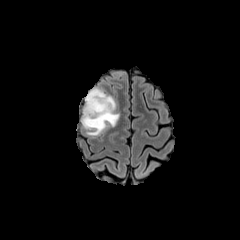
FLAIR magnetic resonance.
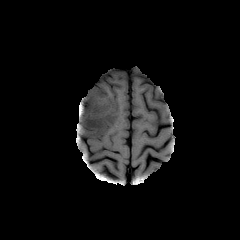
T1-weighted MR image.
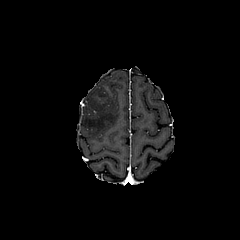
Same slice, post-contrast T1-weighted MRI.
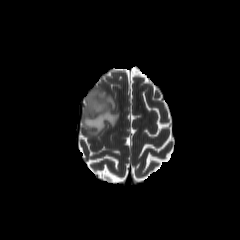
T2-weighted MR of the same slice.
Axial view
Findings:
• peritumoral edema: <bbox>81, 88, 119, 135</bbox>